Axial view
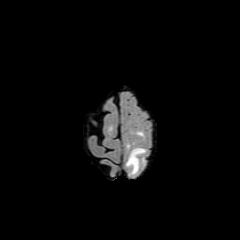
FLAIR magnetic resonance.
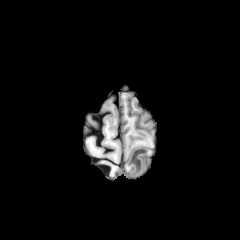
T1-weighted MR.
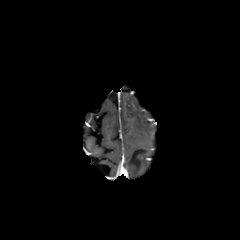
Same slice, post-contrast T1-weighted MR image.
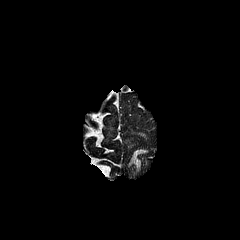
Same slice, T2-weighted magnetic resonance.
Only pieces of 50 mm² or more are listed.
The largest peritumoral edema region is located at box=[127, 149, 144, 173].